Head, 240x240 px, Image covers 240 mm x 240 mm, Slice 100 of 155
FLAIR MRI.
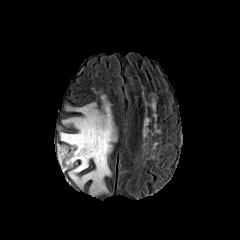
T1-weighted MR image.
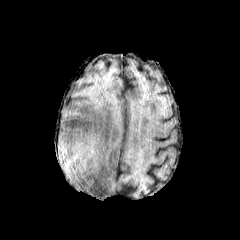
Post-contrast T1-weighted magnetic resonance.
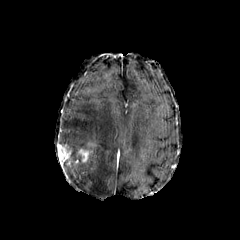
T2-weighted MR image.
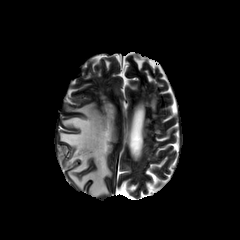
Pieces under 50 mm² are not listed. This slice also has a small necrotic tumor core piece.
Findings:
* peritumoral edema: 61 103 115 194
* enhancing tumor: 78 142 95 162, 60 145 71 166